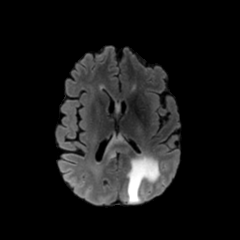
FLAIR MR image.
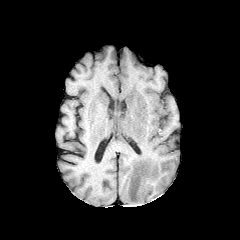
T1-weighted MR image.
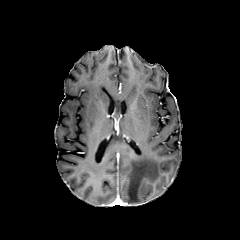
Post-contrast T1-weighted MR image.
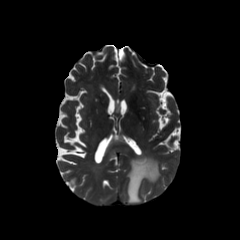
T2-weighted MR image.
Brain
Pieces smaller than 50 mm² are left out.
peritumoral edema — 126, 156, 159, 203; 105, 135, 126, 163